Axial plane. Brain.
FLAIR MR.
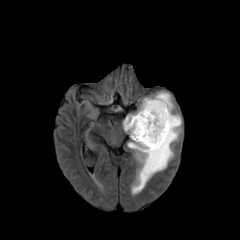
T1-weighted MR.
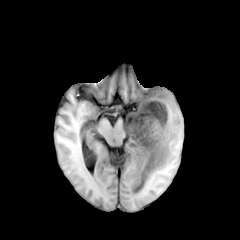
Post-contrast T1-weighted MR.
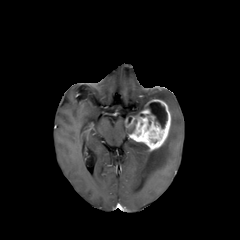
T2-weighted MRI.
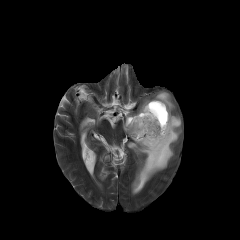
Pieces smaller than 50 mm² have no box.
enhancing_tumor:
  - {"x1": 124, "y1": 99, "x2": 171, "y2": 151}
necrotic_tumor_core:
  - {"x1": 147, "y1": 102, "x2": 167, "y2": 128}
peritumoral_edema:
  - {"x1": 127, "y1": 91, "x2": 181, "y2": 193}